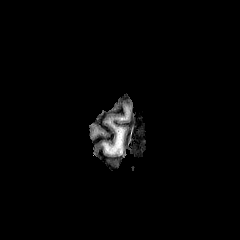
FLAIR magnetic resonance.
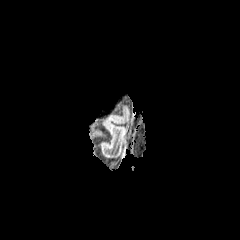
T1-weighted MRI.
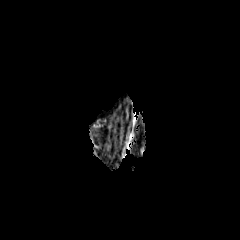
Post-contrast T1-weighted MR image.
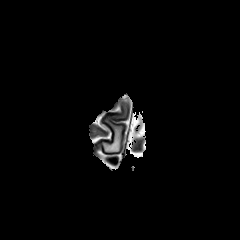
Same slice, T2-weighted magnetic resonance.
Brain | Axial plane
peritumoral_edema:
  - 101 125 124 154